Head, 240x240
FLAIR MR image.
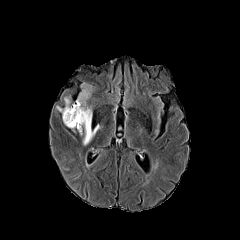
T1-weighted MR image.
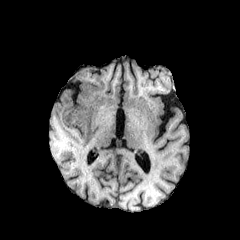
Post-contrast T1-weighted magnetic resonance.
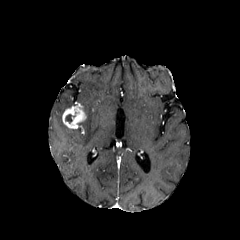
T2-weighted magnetic resonance.
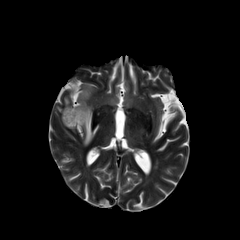
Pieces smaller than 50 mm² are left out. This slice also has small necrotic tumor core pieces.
• enhancing tumor: {"x1": 63, "y1": 102, "x2": 86, "y2": 128}
• peritumoral edema: {"x1": 56, "y1": 97, "x2": 70, "y2": 113}, {"x1": 76, "y1": 83, "x2": 99, "y2": 145}